FLAIR magnetic resonance.
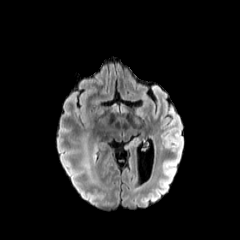
T1-weighted MR.
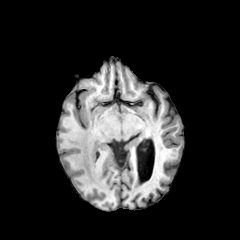
Post-contrast T1-weighted MR image.
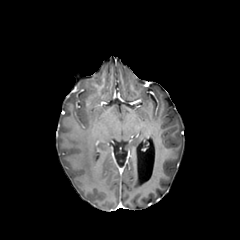
T2-weighted MR image.
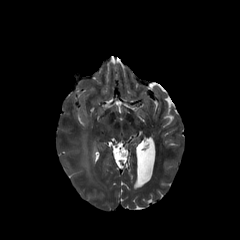
Brain | Axial slice
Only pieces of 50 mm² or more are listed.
* peritumoral edema: region(82, 141, 91, 177)